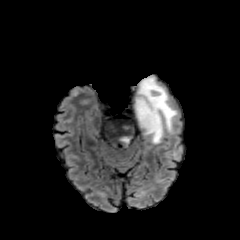
FLAIR magnetic resonance.
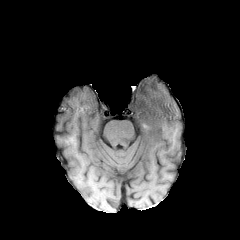
Same slice, T1-weighted MR image.
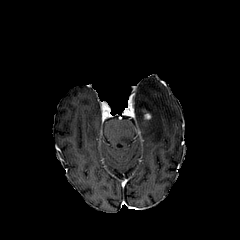
Post-contrast T1-weighted magnetic resonance.
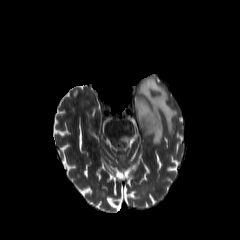
T2-weighted MR.
Axial slice | Brain
enhancing tumor: bounding box <bbox>141, 108, 151, 120</bbox>
peritumoral edema: bounding box <bbox>122, 124, 133, 132</bbox>, <bbox>119, 135, 133, 146</bbox>, <bbox>134, 76, 177, 144</bbox>